FLAIR MRI.
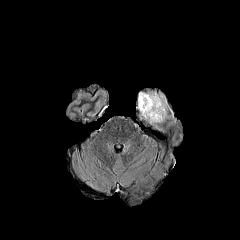
T1-weighted MR image.
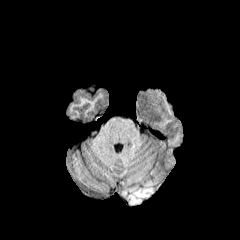
Post-contrast T1-weighted MR image.
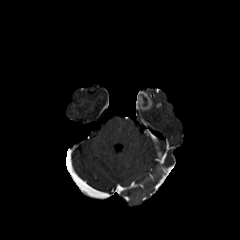
T2-weighted magnetic resonance.
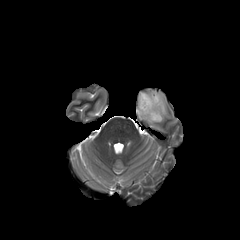
240x240 px, Head
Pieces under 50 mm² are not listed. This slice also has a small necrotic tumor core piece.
enhancing tumor = region(138, 91, 152, 110)
peritumoral edema = region(137, 91, 167, 123)